FLAIR MRI.
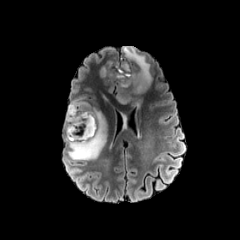
T1-weighted MR.
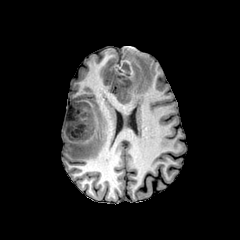
Post-contrast T1-weighted MR image.
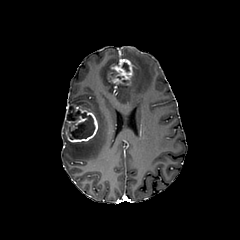
T2-weighted MRI.
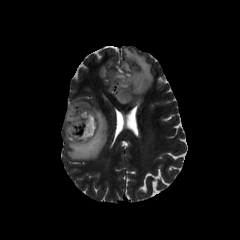
Axial plane.
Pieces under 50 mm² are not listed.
necrotic_tumor_core:
  - [x1=67, y1=106, x2=94, y2=139]
peritumoral_edema:
  - [x1=65, y1=99, x2=106, y2=160]
  - [x1=116, y1=46, x2=152, y2=103]
  - [x1=100, y1=67, x2=110, y2=77]
enhancing_tumor:
  - [x1=107, y1=59, x2=133, y2=86]
  - [x1=65, y1=104, x2=97, y2=142]